Slice index 66
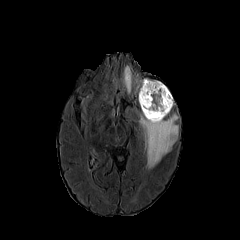
FLAIR MRI.
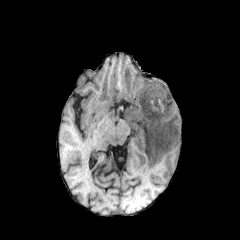
Same slice, T1-weighted MR.
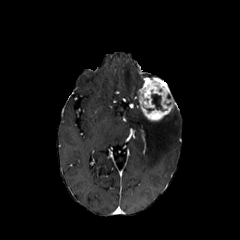
Post-contrast T1-weighted magnetic resonance of the same slice.
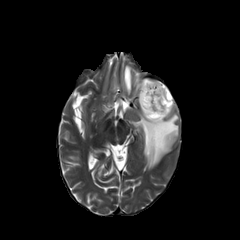
T2-weighted MR image of the same slice.
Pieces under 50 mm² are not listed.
necrotic tumor core = l=151, t=94, r=164, b=110
enhancing tumor = l=138, t=78, r=175, b=121
peritumoral edema = l=139, t=112, r=179, b=168; l=134, t=75, r=143, b=93; l=122, t=65, r=132, b=93